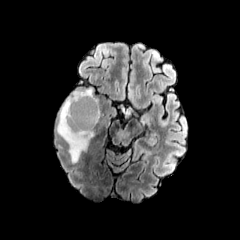
FLAIR MRI.
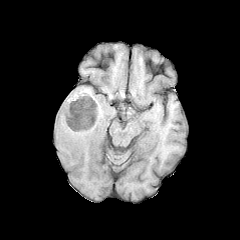
T1-weighted magnetic resonance of the same slice.
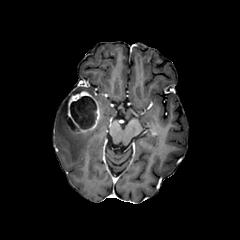
Post-contrast T1-weighted MR of the same slice.
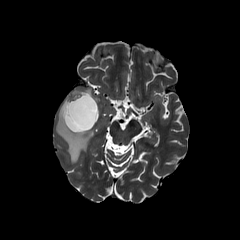
T2-weighted MRI of the same slice.
Axial plane. Head.
The peritumoral edema is located at [56,88,98,162]. The enhancing tumor lies within [65,91,100,132]. 2 necrotic tumor core regions appear at [67,118,78,130], [70,96,96,129].